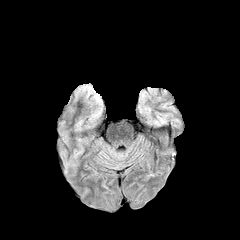
FLAIR MRI.
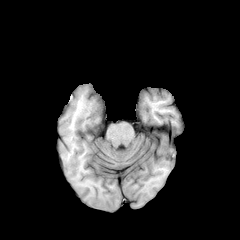
T1-weighted magnetic resonance of the same slice.
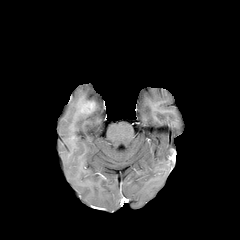
Same slice, post-contrast T1-weighted magnetic resonance.
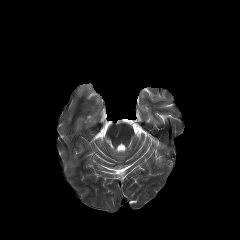
T2-weighted magnetic resonance.
enhancing tumor: bounding box x1=86, y1=101, x2=95, y2=110